Image width 240 mm; Slice index 65; Axial slice
FLAIR MRI.
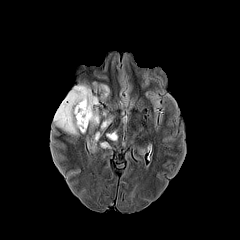
T1-weighted MRI.
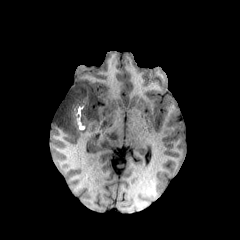
Post-contrast T1-weighted MRI.
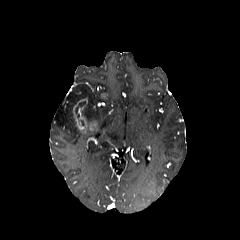
T2-weighted MR image.
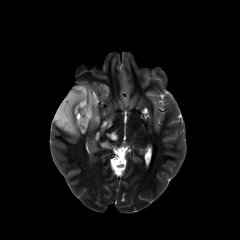
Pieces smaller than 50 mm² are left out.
Annotated regions:
- enhancing tumor: <box>73,98,96,133</box>
- peritumoral edema: <box>54,84,98,135</box>, <box>101,85,109,96</box>, <box>93,108,100,124</box>, <box>101,117,112,129</box>, <box>106,131,116,139</box>
- necrotic tumor core: <box>75,101,85,118</box>, <box>82,98,97,124</box>